240x240 px, Head, Slice 77/155, Image covers 240 mm x 240 mm
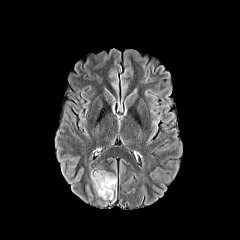
FLAIR MR.
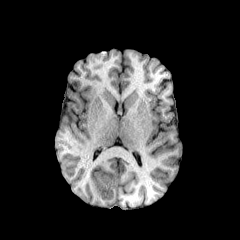
Same slice, T1-weighted MRI.
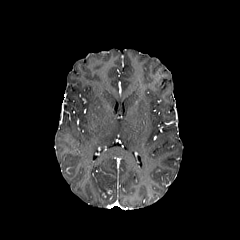
Post-contrast T1-weighted MRI.
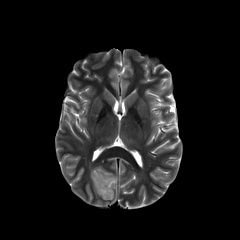
T2-weighted MR.
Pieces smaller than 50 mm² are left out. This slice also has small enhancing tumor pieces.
The peritumoral edema is bounded by x1=90 y1=171 x2=116 y2=202.